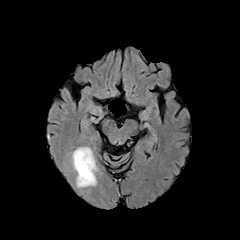
FLAIR MR.
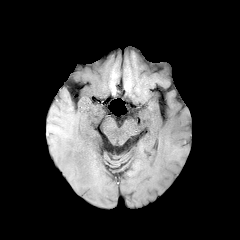
T1-weighted MR image of the same slice.
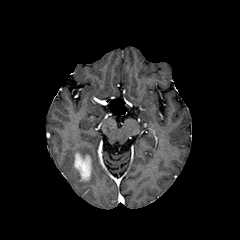
Same slice, post-contrast T1-weighted MR.
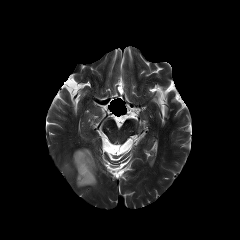
T2-weighted MR.
Head | Axial plane | 240x240 px
enhancing tumor: box=[74, 152, 91, 181] | peritumoral edema: box=[72, 147, 97, 187]